FLAIR MR image.
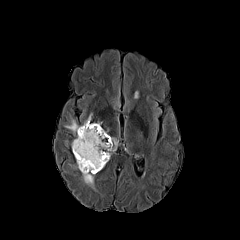
T1-weighted MRI.
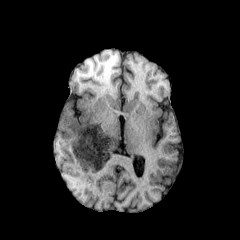
Post-contrast T1-weighted MRI.
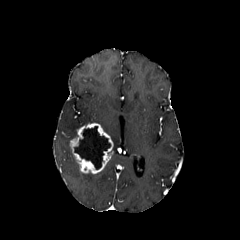
T2-weighted MR.
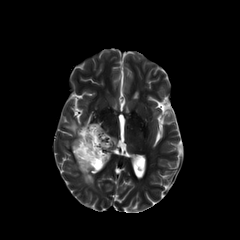
Head
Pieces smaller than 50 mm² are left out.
Findings:
- necrotic tumor core: 74:126:110:169
- peritumoral edema: 64:118:81:135, 111:137:118:151, 82:173:95:189
- enhancing tumor: 70:123:113:173